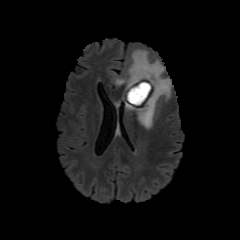
FLAIR MR.
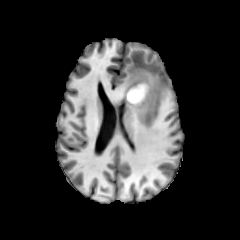
T1-weighted MR image.
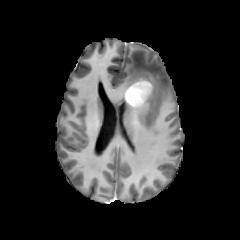
Same slice, post-contrast T1-weighted MR.
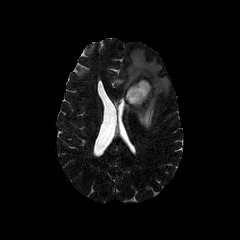
T2-weighted MRI.
Brain
Segmented structures:
- enhancing tumor: 125,77,153,109
- necrotic tumor core: 127,82,148,103
- peritumoral edema: 115,49,170,129